Head, Axial plane, 240x240 px, Slice 85 of 155
FLAIR MR.
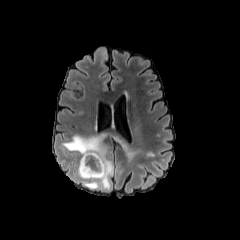
T1-weighted MR.
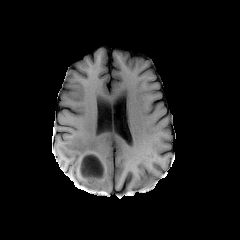
Post-contrast T1-weighted MR.
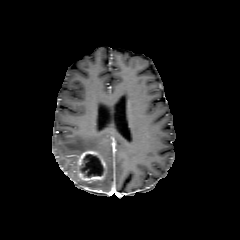
T2-weighted MR.
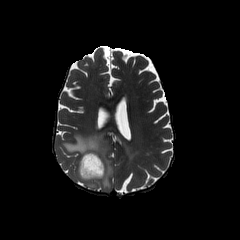
Annotated regions:
- enhancing tumor: [x1=77, y1=151, x2=105, y2=182]
- peritumoral edema: [x1=62, y1=129, x2=142, y2=189]
- necrotic tumor core: [x1=82, y1=154, x2=103, y2=177]